Image width 240 mm, 1.00 mm slice spacing; Axial view
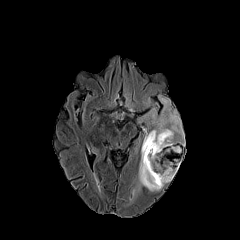
FLAIR MR.
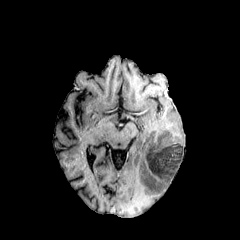
T1-weighted MRI of the same slice.
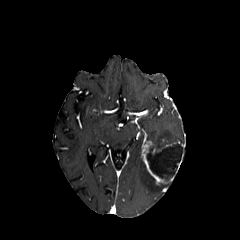
Post-contrast T1-weighted MR.
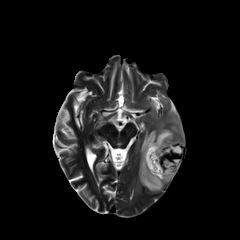
T2-weighted MR.
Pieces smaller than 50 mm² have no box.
<segmentation>
  <enhancing_tumor>[141, 140, 174, 184]</enhancing_tumor>
  <necrotic_tumor_core>[146, 142, 183, 180]</necrotic_tumor_core>
  <peritumoral_edema>[138, 158, 164, 191], [146, 109, 182, 144], [161, 98, 170, 109]</peritumoral_edema>
</segmentation>